Axial plane
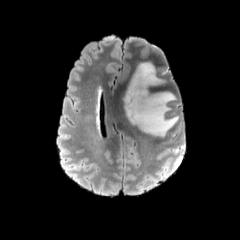
FLAIR MR.
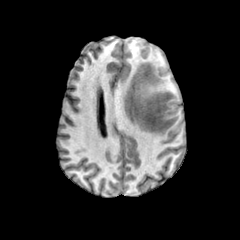
T1-weighted MRI.
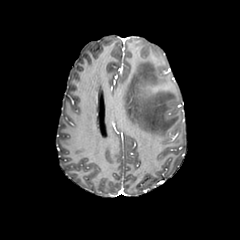
Post-contrast T1-weighted MRI of the same slice.
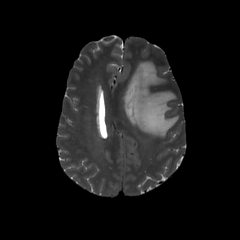
T2-weighted MR.
The peritumoral edema is at 124 62 178 136.